Head.
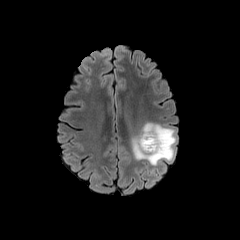
FLAIR MR.
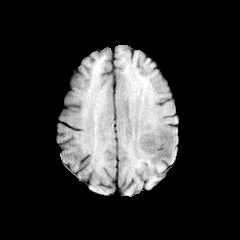
T1-weighted MRI.
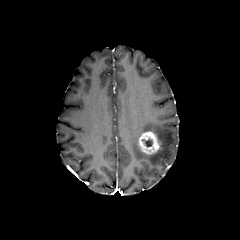
Post-contrast T1-weighted magnetic resonance of the same slice.
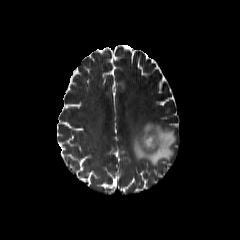
T2-weighted MRI of the same slice.
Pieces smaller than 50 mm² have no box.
Annotated regions:
• enhancing tumor: l=138, t=131, r=161, b=154
• peritumoral edema: l=131, t=122, r=176, b=166
• necrotic tumor core: l=142, t=139, r=152, b=146